Image covers 240 mm x 240 mm; Slice index 76; 240x240; Axial view
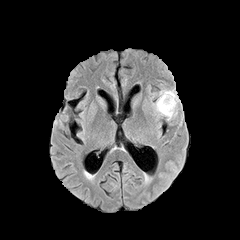
FLAIR MR.
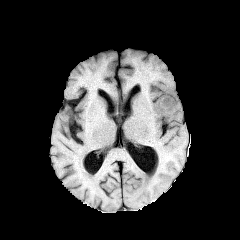
T1-weighted MRI.
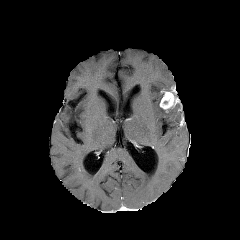
Same slice, post-contrast T1-weighted MRI.
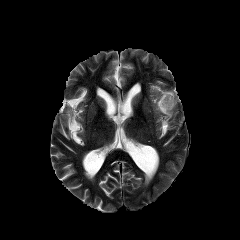
T2-weighted magnetic resonance.
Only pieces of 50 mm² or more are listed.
The enhancing tumor is bounded by (x1=159, y1=87, x2=179, y2=112). The largest peritumoral edema region is located at (x1=155, y1=92, x2=176, y2=119).